FLAIR MR.
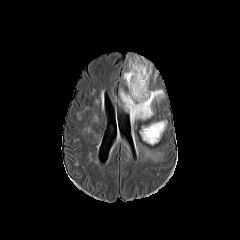
T1-weighted MRI.
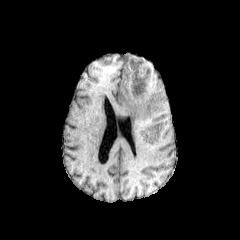
Post-contrast T1-weighted MR.
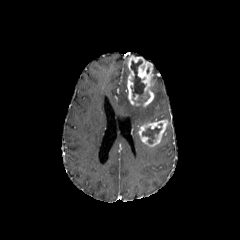
T2-weighted MRI.
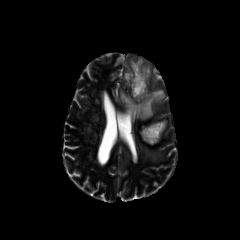
Axial plane.
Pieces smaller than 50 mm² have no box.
<segmentation>
  <peritumoral_edema>(left=118, top=88, right=164, bottom=120), (left=137, top=142, right=161, bottom=160)</peritumoral_edema>
  <necrotic_tumor_core>(left=131, top=59, right=145, bottom=96), (left=142, top=123, right=162, bottom=144)</necrotic_tumor_core>
  <enhancing_tumor>(left=138, top=120, right=167, bottom=146), (left=127, top=54, right=154, bottom=106)</enhancing_tumor>
</segmentation>